Head
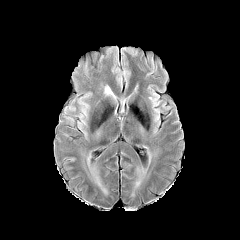
FLAIR magnetic resonance.
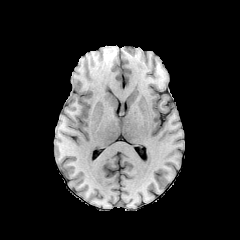
T1-weighted MR.
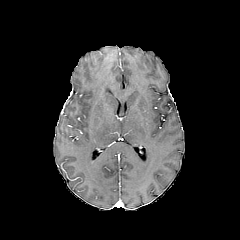
Post-contrast T1-weighted MR.
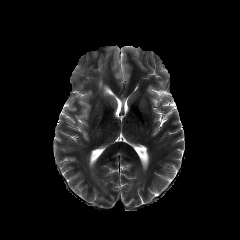
T2-weighted MR image of the same slice.
peritumoral edema: box=[104, 86, 111, 94]